Brain | Image width 240 mm
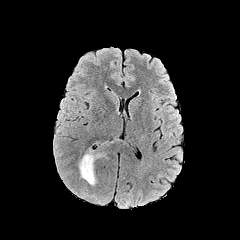
FLAIR magnetic resonance.
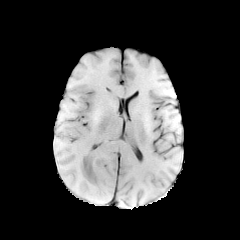
T1-weighted MR image of the same slice.
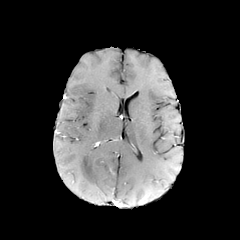
Post-contrast T1-weighted MR.
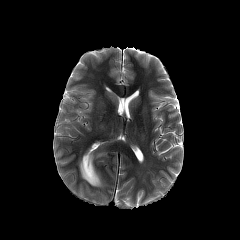
T2-weighted magnetic resonance.
The peritumoral edema appears at [78, 148, 105, 186].